Brain | Axial plane | Image width 240 mm, 1.00 mm slice spacing
FLAIR MR.
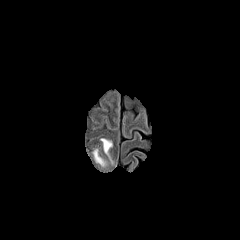
T1-weighted magnetic resonance.
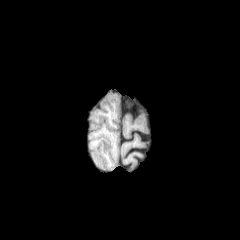
Post-contrast T1-weighted magnetic resonance.
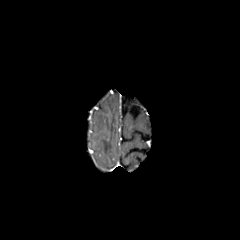
T2-weighted MR image.
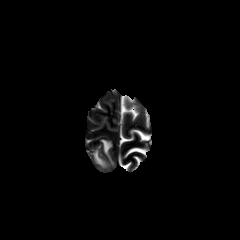
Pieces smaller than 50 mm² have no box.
peritumoral_edema:
  - <box>101,139,112,158</box>
  - <box>94,150,106,165</box>